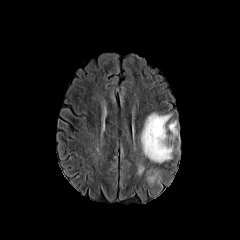
FLAIR MRI.
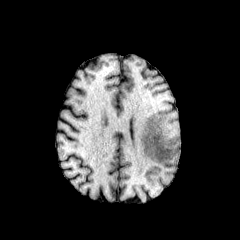
T1-weighted MR.
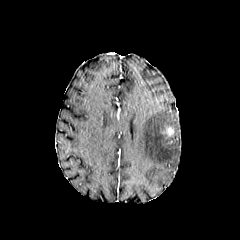
Post-contrast T1-weighted magnetic resonance.
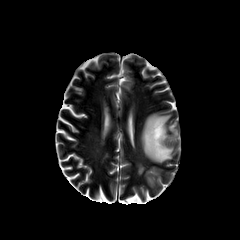
Same slice, T2-weighted MRI.
Image size 240x240 | Axial plane
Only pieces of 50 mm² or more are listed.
enhancing tumor = (left=161, top=126, right=174, bottom=137)
peritumoral edema = (left=146, top=169, right=160, bottom=185), (left=137, top=164, right=144, bottom=173), (left=140, top=113, right=180, bottom=163)